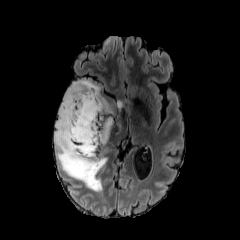
FLAIR magnetic resonance.
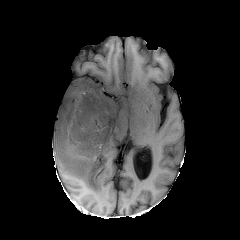
T1-weighted magnetic resonance.
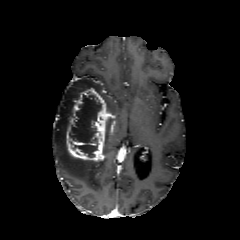
Post-contrast T1-weighted magnetic resonance of the same slice.
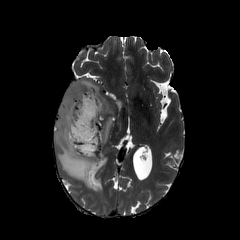
T2-weighted magnetic resonance.
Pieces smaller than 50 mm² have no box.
The largest enhancing tumor region appears at box(66, 88, 115, 161). The largest necrotic tumor core region is at box(69, 95, 101, 157). The 2 largest peritumoral edema regions are bounded by box(54, 79, 106, 191); box(105, 118, 112, 145).